FLAIR magnetic resonance.
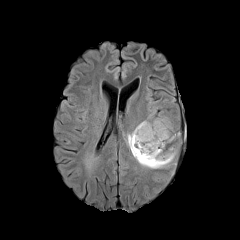
T1-weighted MR.
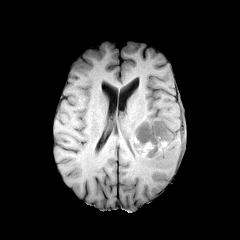
Post-contrast T1-weighted magnetic resonance.
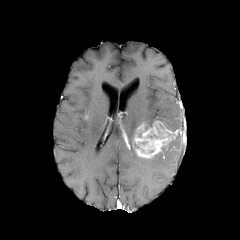
T2-weighted magnetic resonance.
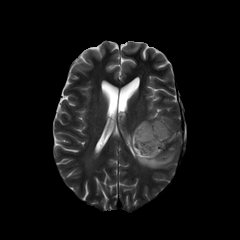
Axial plane. Head.
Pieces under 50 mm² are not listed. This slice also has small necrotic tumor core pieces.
Annotated regions:
* enhancing tumor: l=134, t=121, r=174, b=158
* peritumoral edema: l=127, t=120, r=176, b=168; l=156, t=117, r=171, b=128